FLAIR MRI.
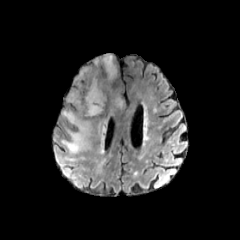
T1-weighted MR.
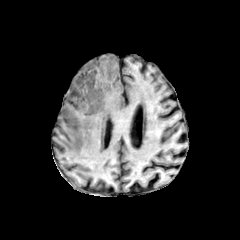
Post-contrast T1-weighted MR image.
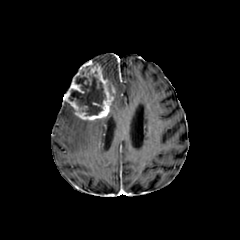
T2-weighted MR.
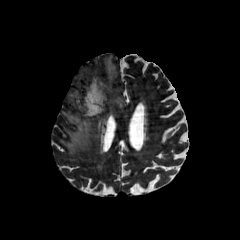
Axial slice, Brain
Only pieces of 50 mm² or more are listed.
{"peritumoral_edema": [{"x1": 97, "y1": 119, "x2": 106, "y2": 142}, {"x1": 61, "y1": 109, "x2": 92, "y2": 154}, {"x1": 113, "y1": 97, "x2": 122, "y2": 107}, {"x1": 103, "y1": 55, "x2": 116, "y2": 82}], "necrotic_tumor_core": [{"x1": 69, "y1": 75, "x2": 105, "y2": 115}], "enhancing_tumor": [{"x1": 64, "y1": 61, "x2": 115, "y2": 120}]}